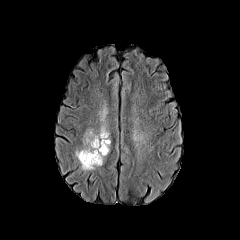
FLAIR magnetic resonance.
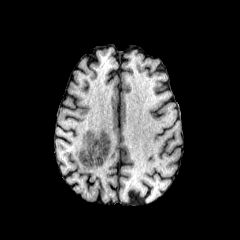
T1-weighted MRI of the same slice.
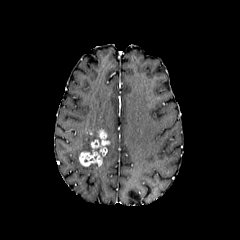
Post-contrast T1-weighted magnetic resonance.
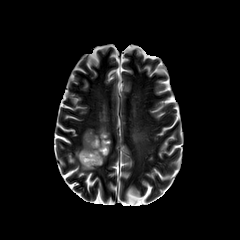
T2-weighted MR.
Brain
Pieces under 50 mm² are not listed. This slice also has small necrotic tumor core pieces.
peritumoral edema: bounding box 101 122 109 136, 132 129 139 142, 75 128 98 158, 81 164 99 170, 99 100 108 121
enhancing tumor: bounding box 79 129 109 166